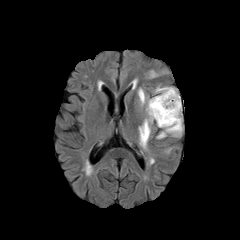
FLAIR MR.
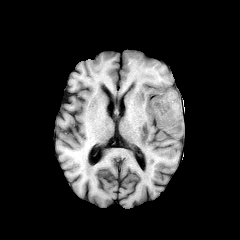
T1-weighted MR of the same slice.
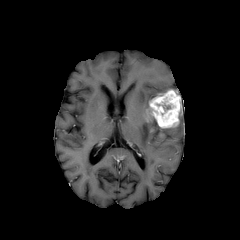
Same slice, post-contrast T1-weighted MRI.
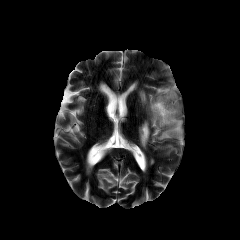
T2-weighted MR.
Image size 240x240. Axial view. Head.
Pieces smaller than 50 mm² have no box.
The necrotic tumor core is at [158,97,171,113]. The enhancing tumor is at [146,89,181,128]. The 4 largest peritumoral edema regions are bounded by [157,116,182,138], [139,119,153,148], [138,89,145,104], [156,87,174,94].